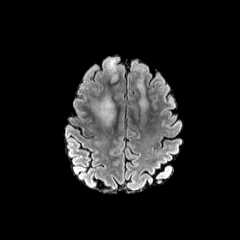
FLAIR MR.
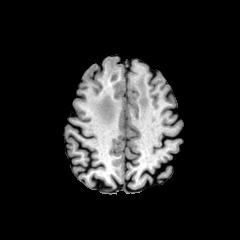
Same slice, T1-weighted MR image.
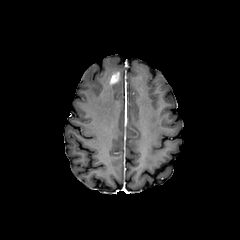
Post-contrast T1-weighted MR.
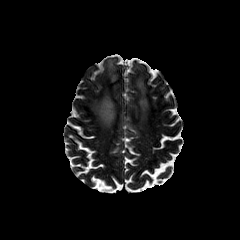
Same slice, T2-weighted magnetic resonance.
Head. 240x240 px.
peritumoral edema: bounding box (x1=94, y1=96, x2=114, y2=126), (x1=137, y1=67, x2=147, y2=111), (x1=106, y1=58, x2=120, y2=74)
enhancing tumor: bounding box (x1=110, y1=72, x2=119, y2=83)